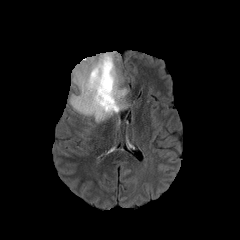
FLAIR magnetic resonance.
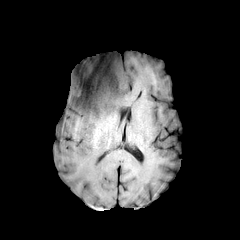
T1-weighted MR.
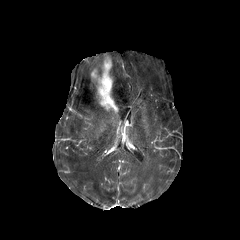
Post-contrast T1-weighted magnetic resonance.
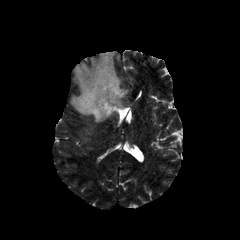
T2-weighted MR image.
Axial view
<segmentation>
  <enhancing_tumor>91:56:117:111</enhancing_tumor>
  <peritumoral_edema>69:51:128:123</peritumoral_edema>
</segmentation>